FLAIR MRI.
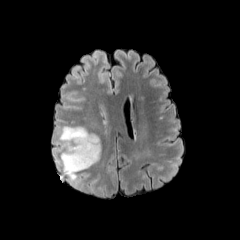
T1-weighted MRI.
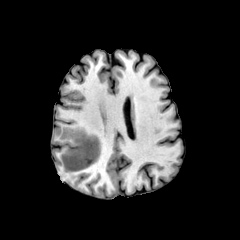
Post-contrast T1-weighted magnetic resonance.
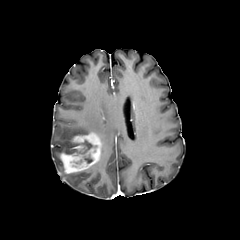
T2-weighted MR image.
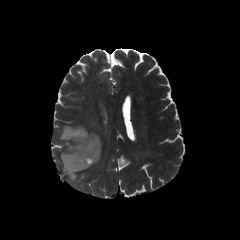
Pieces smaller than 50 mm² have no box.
2 peritumoral edema regions are bounded by (left=56, top=126, right=90, bottom=154), (left=54, top=155, right=77, bottom=182). The largest necrotic tumor core region is located at (left=68, top=140, right=93, bottom=153). The enhancing tumor is bounded by (left=60, top=133, right=102, bottom=173).